Image width 240 mm | Axial slice | Brain | Slice 86/155
FLAIR MR image.
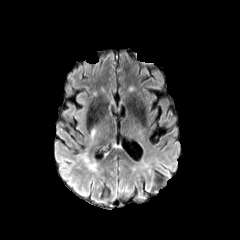
T1-weighted MRI.
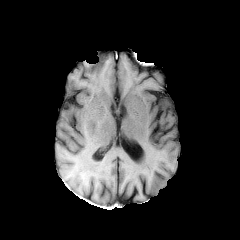
Post-contrast T1-weighted magnetic resonance.
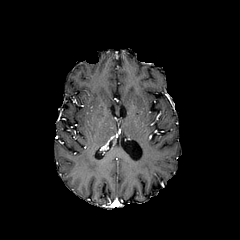
T2-weighted MRI.
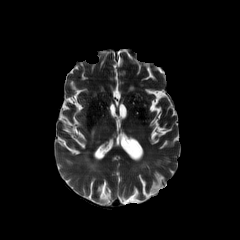
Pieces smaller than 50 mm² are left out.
Segmented structures:
- peritumoral edema: 80,153,89,163